Slice 82/155; Head
FLAIR MR image.
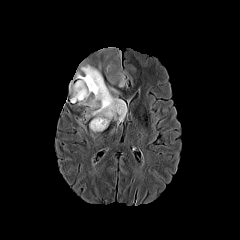
T1-weighted MR image.
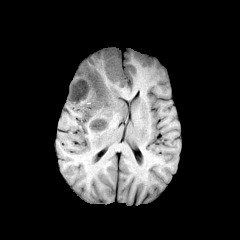
Post-contrast T1-weighted MR.
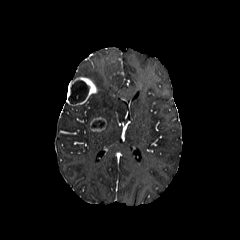
T2-weighted magnetic resonance.
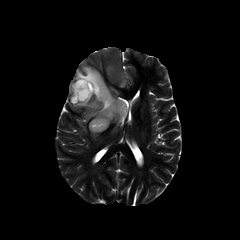
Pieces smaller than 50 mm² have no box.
<segmentation>
  <necrotic_tumor_core>rect(91, 120, 104, 128); rect(68, 80, 88, 104)</necrotic_tumor_core>
  <enhancing_tumor>rect(90, 117, 106, 131); rect(66, 76, 98, 105)</enhancing_tumor>
  <peritumoral_edema>rect(74, 47, 126, 127)</peritumoral_edema>
</segmentation>